Slice 117/155 | Image size 240x240 | Axial slice | Brain
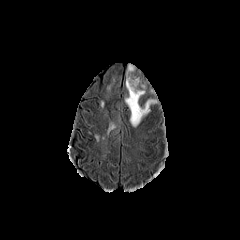
FLAIR MRI.
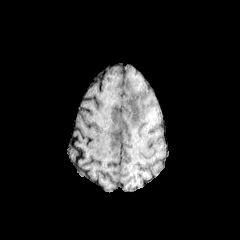
T1-weighted MR.
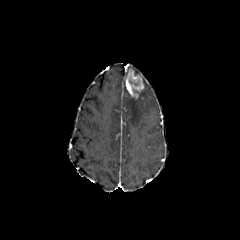
Same slice, post-contrast T1-weighted MR.
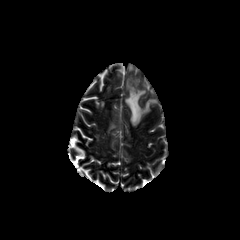
T2-weighted MR image.
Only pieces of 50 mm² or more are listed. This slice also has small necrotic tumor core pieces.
peritumoral edema at 125,84,155,126
enhancing tumor at 125,70,143,98